FLAIR MR.
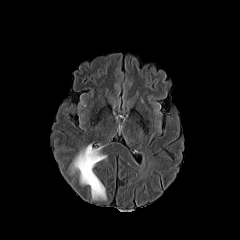
T1-weighted MRI.
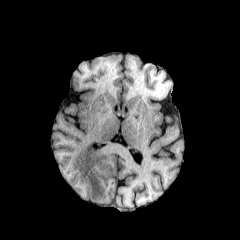
Post-contrast T1-weighted MR image.
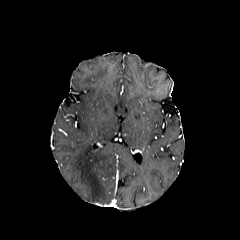
T2-weighted MR.
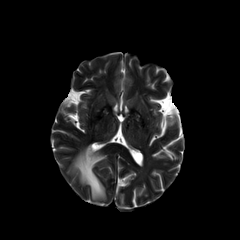
Image size 240x240
peritumoral edema: bounding box bbox=[71, 144, 106, 199]